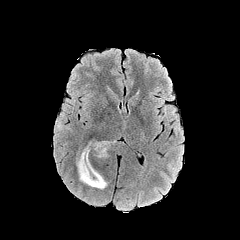
FLAIR MRI.
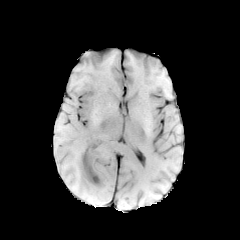
T1-weighted MRI.
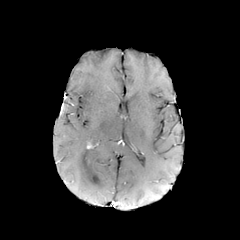
Post-contrast T1-weighted MR image of the same slice.
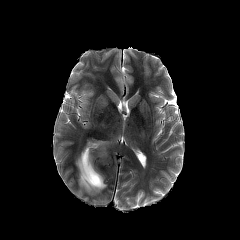
T2-weighted MR of the same slice.
Axial plane. Head.
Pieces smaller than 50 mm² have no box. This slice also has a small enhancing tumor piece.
{"peritumoral_edema": ["bbox=[90, 141, 110, 157]", "bbox=[76, 147, 107, 190]"]}